Image size 240x240; Axial view; Brain
FLAIR MRI.
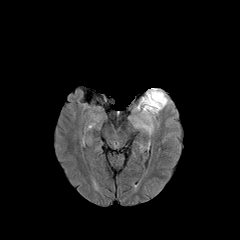
T1-weighted MRI.
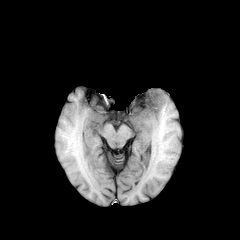
Post-contrast T1-weighted magnetic resonance.
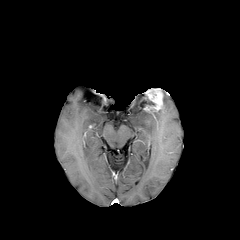
T2-weighted MR.
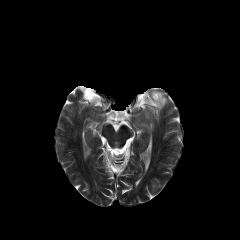
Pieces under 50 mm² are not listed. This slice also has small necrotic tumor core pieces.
peritumoral edema — 163,92,168,107; 135,99,144,110; 135,110,158,133
enhancing tumor — 142,88,163,112